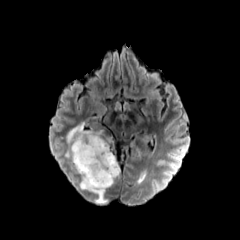
FLAIR magnetic resonance.
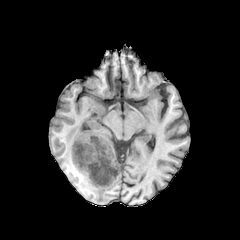
T1-weighted MRI.
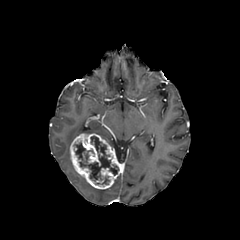
Post-contrast T1-weighted MR.
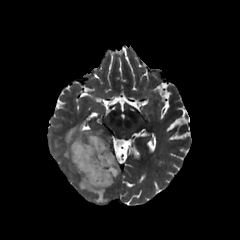
T2-weighted MRI of the same slice.
Image size 240x240 | Axial plane | Head
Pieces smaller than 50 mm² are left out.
peritumoral edema = region(65, 123, 110, 163); region(79, 177, 106, 203)
necrotic tumor core = region(74, 136, 118, 179)
enhancing tumor = region(70, 133, 120, 189)